FLAIR magnetic resonance.
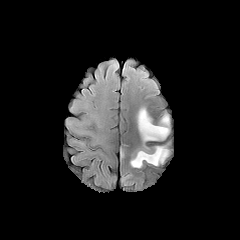
T1-weighted MR.
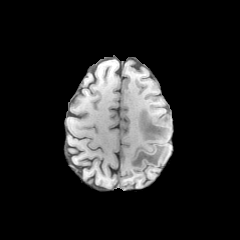
Post-contrast T1-weighted magnetic resonance.
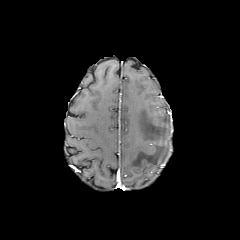
T2-weighted MR.
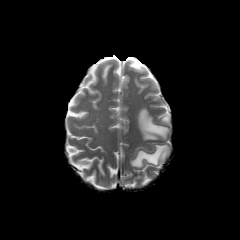
Axial view; Head
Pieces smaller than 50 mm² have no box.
peritumoral edema: <bbox>130, 146, 171, 167</bbox>, <bbox>137, 108, 169, 147</bbox>